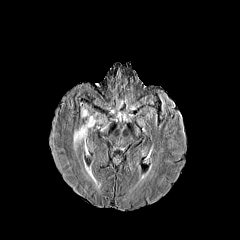
FLAIR MR image.
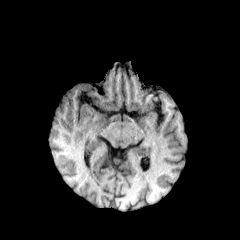
T1-weighted MR image of the same slice.
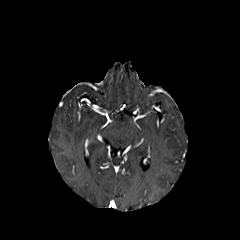
Post-contrast T1-weighted MR image.
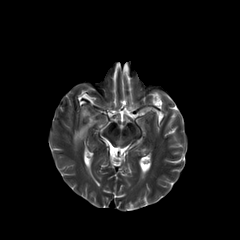
T2-weighted MR image.
Head | Axial view
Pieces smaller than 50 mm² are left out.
peritumoral edema: 74:116:95:149